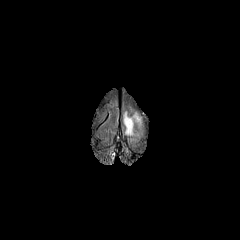
FLAIR MRI.
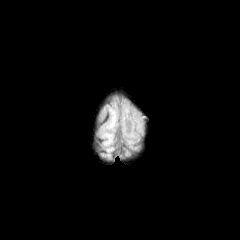
T1-weighted MR image.
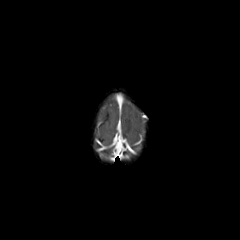
Post-contrast T1-weighted MR.
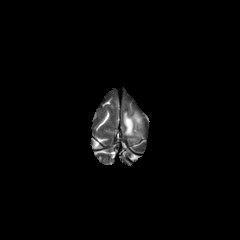
T2-weighted magnetic resonance.
Axial slice; Brain
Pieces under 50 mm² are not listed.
The largest peritumoral edema region is located at <bbox>124, 112, 133, 135</bbox>.